Axial view; 240x240 px; Head
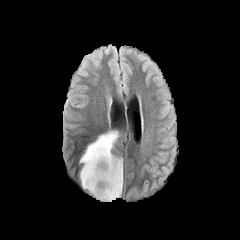
FLAIR MR image.
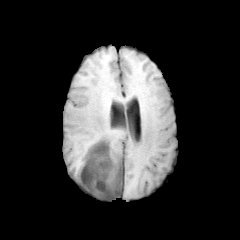
T1-weighted MR of the same slice.
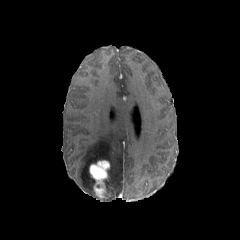
Same slice, post-contrast T1-weighted MR.
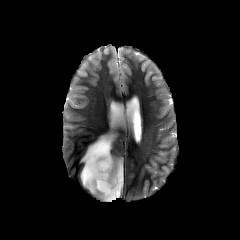
T2-weighted magnetic resonance of the same slice.
The peritumoral edema appears at box=[80, 131, 122, 201]. The enhancing tumor lies within box=[89, 160, 110, 200].